Axial plane; 240x240 px; Slice index 76
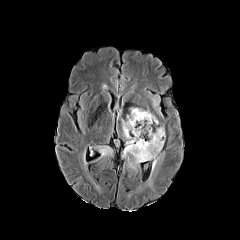
FLAIR MRI.
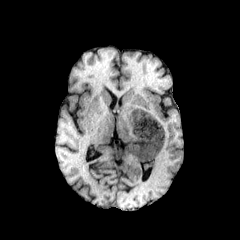
T1-weighted MR.
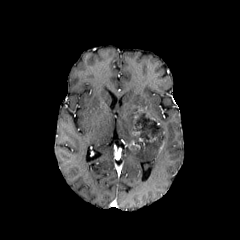
Post-contrast T1-weighted magnetic resonance of the same slice.
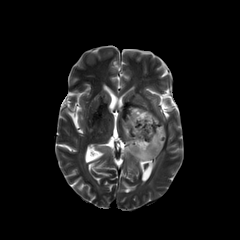
T2-weighted MR.
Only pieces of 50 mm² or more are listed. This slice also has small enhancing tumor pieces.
Annotated regions:
- peritumoral edema: bbox=[88, 175, 101, 193]; bbox=[95, 144, 114, 162]; bbox=[123, 141, 164, 191]; bbox=[122, 106, 149, 145]
- necrotic tumor core: bbox=[134, 112, 163, 144]